FLAIR MRI.
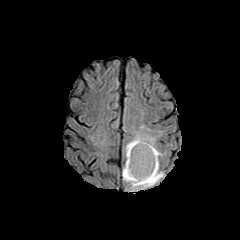
T1-weighted MR image.
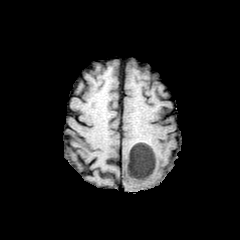
Post-contrast T1-weighted MRI.
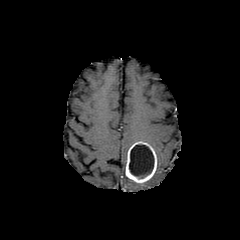
T2-weighted MRI.
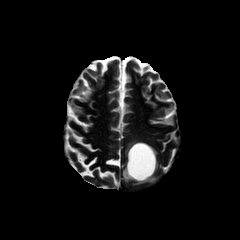
Axial view
<segmentation>
  <necrotic_tumor_core>[129, 145, 154, 178]</necrotic_tumor_core>
  <peritumoral_edema>[122, 133, 163, 190]</peritumoral_edema>
  <enhancing_tumor>[125, 141, 156, 183]</enhancing_tumor>
</segmentation>